Brain; Axial plane
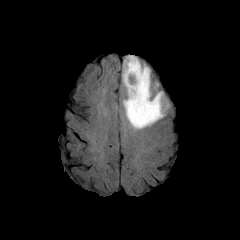
FLAIR magnetic resonance.
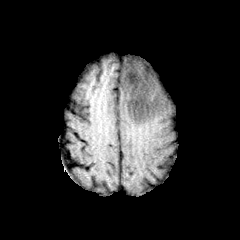
T1-weighted MR image.
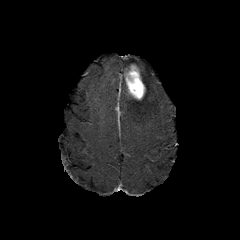
Post-contrast T1-weighted MR image.
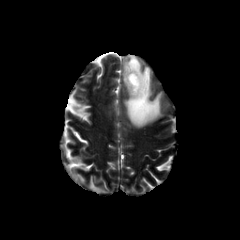
T2-weighted magnetic resonance of the same slice.
Findings:
- enhancing tumor: x1=124, y1=64, x2=145, y2=100
- peritumoral edema: x1=122, y1=55, x2=167, y2=128